Slice index 49; Image size 240x240; Axial slice
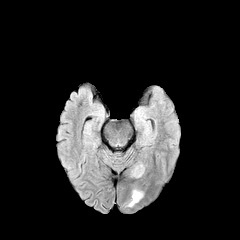
FLAIR MR image.
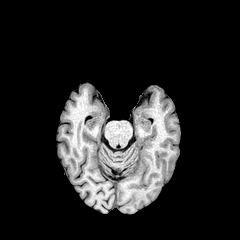
T1-weighted magnetic resonance of the same slice.
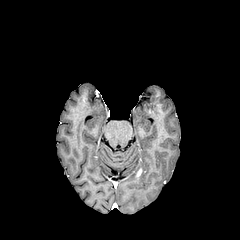
Post-contrast T1-weighted magnetic resonance.
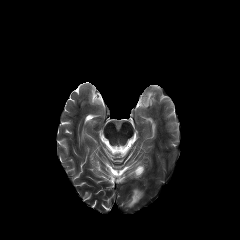
T2-weighted MR image of the same slice.
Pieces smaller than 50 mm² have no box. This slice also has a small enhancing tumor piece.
The largest peritumoral edema region is located at <bbox>128, 190, 142, 206</bbox>.